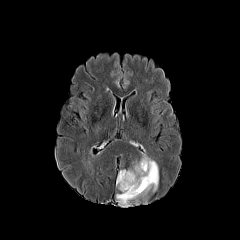
FLAIR magnetic resonance.
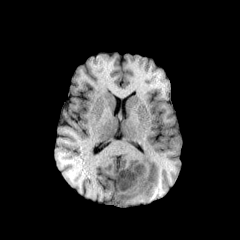
T1-weighted magnetic resonance.
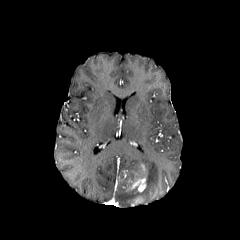
Same slice, post-contrast T1-weighted MR.
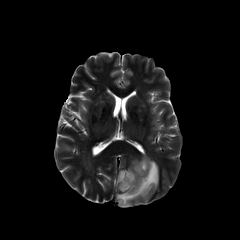
T2-weighted MRI.
240x240 px. Axial plane.
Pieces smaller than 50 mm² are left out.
peritumoral edema = [116,154,158,207]
enhancing tumor = [116,170,127,184], [126,163,147,192]